FLAIR magnetic resonance.
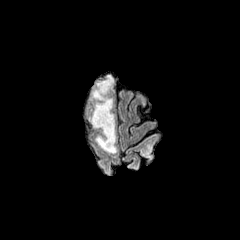
T1-weighted magnetic resonance.
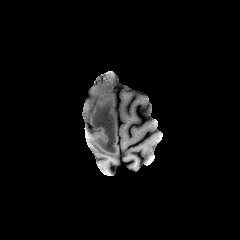
Post-contrast T1-weighted MR.
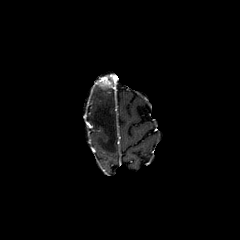
T2-weighted MR.
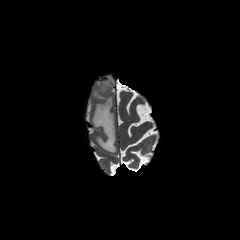
Brain.
peritumoral edema at x1=91 y1=86 x2=116 y2=152
enhancing tumor at x1=95 y1=74 x2=114 y2=90